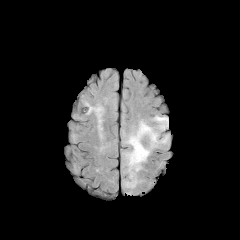
FLAIR magnetic resonance.
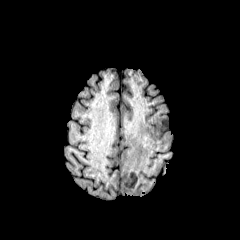
Same slice, T1-weighted MR image.
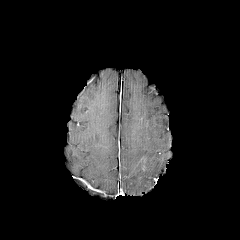
Post-contrast T1-weighted MRI of the same slice.
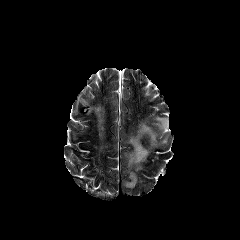
T2-weighted magnetic resonance.
Brain
- peritumoral edema: rect(124, 115, 168, 187)